FLAIR MR image.
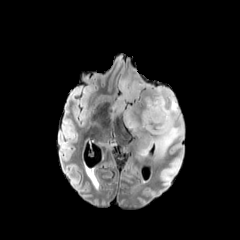
T1-weighted MRI.
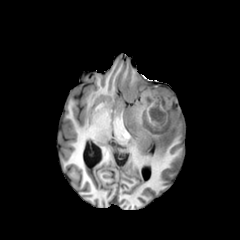
Post-contrast T1-weighted MR image.
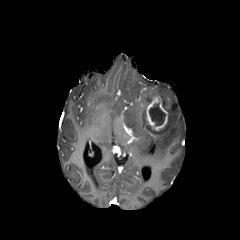
T2-weighted magnetic resonance.
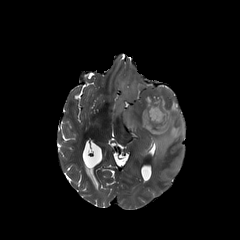
Image size 240x240. Brain.
peritumoral edema: bounding box {"x1": 112, "y1": 78, "x2": 183, "y2": 157}
necrotic tumor core: bounding box {"x1": 149, "y1": 103, "x2": 165, "y2": 125}
enhancing tumor: bounding box {"x1": 146, "y1": 95, "x2": 168, "y2": 130}